Slice 74/155
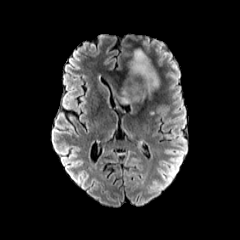
FLAIR MR.
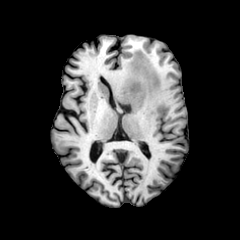
Same slice, T1-weighted MR image.
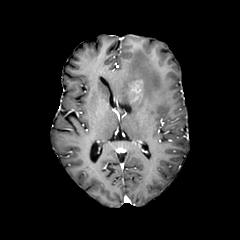
Post-contrast T1-weighted MR.
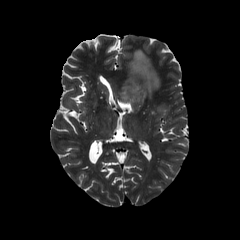
T2-weighted MRI.
Annotated regions:
- enhancing tumor: <box>128,80,142,102</box>
- peritumoral edema: <box>118,50,158,102</box>